Slice 50/155; Axial plane; Head
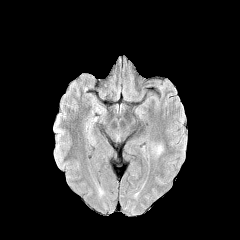
FLAIR magnetic resonance.
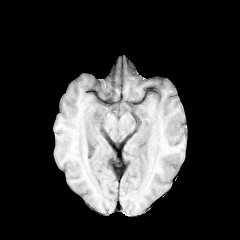
T1-weighted MR image.
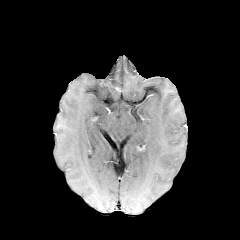
Post-contrast T1-weighted MR.
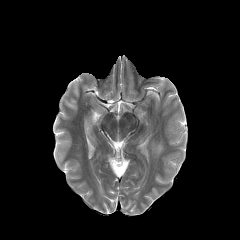
Same slice, T2-weighted MR image.
peritumoral edema = [x1=152, y1=145, x2=162, y2=155]